240x240 px
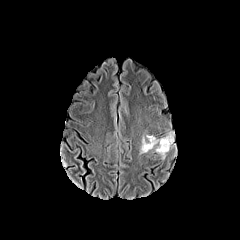
FLAIR magnetic resonance.
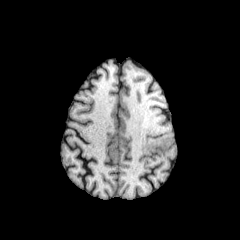
T1-weighted MR image.
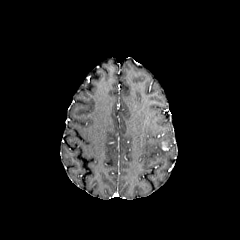
Post-contrast T1-weighted MR.
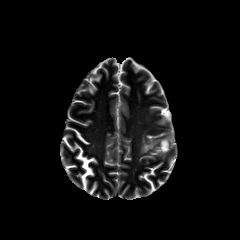
T2-weighted MR of the same slice.
peritumoral edema — 140,132,173,158
enhancing tumor — 161,141,169,150